Slice 42/155; Axial view
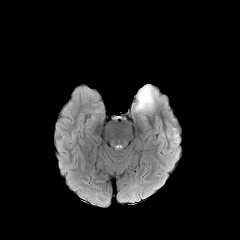
FLAIR MRI.
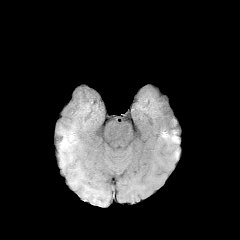
T1-weighted MR.
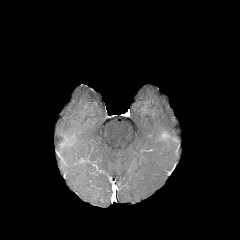
Post-contrast T1-weighted MRI.
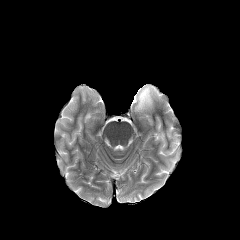
T2-weighted magnetic resonance of the same slice.
peritumoral edema: l=134, t=84, r=160, b=112